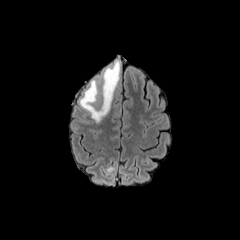
FLAIR magnetic resonance.
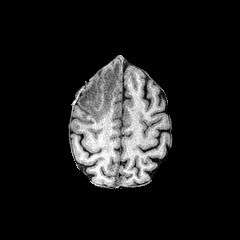
Same slice, T1-weighted MR image.
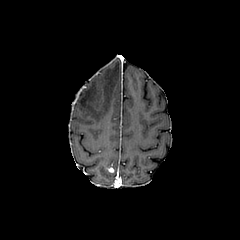
Post-contrast T1-weighted MR.
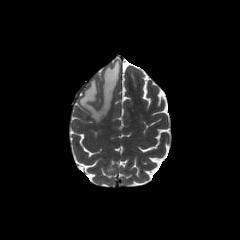
T2-weighted MR.
Head. Image size 240x240. Axial slice.
<segmentation>
  <peritumoral_edema>x1=79 y1=60 x2=120 y2=123</peritumoral_edema>
</segmentation>